Slice 59 of 155.
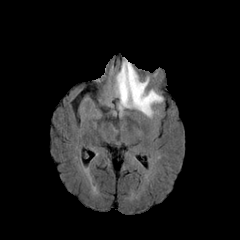
FLAIR MR image.
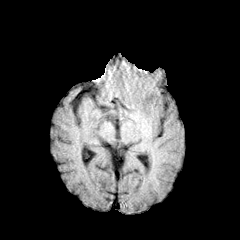
Same slice, T1-weighted magnetic resonance.
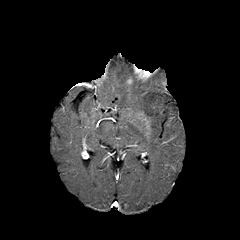
Post-contrast T1-weighted MRI of the same slice.
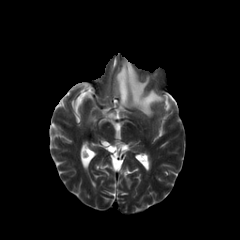
Same slice, T2-weighted MRI.
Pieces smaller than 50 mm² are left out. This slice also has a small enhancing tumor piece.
peritumoral edema: bounding box [114, 59, 162, 117]